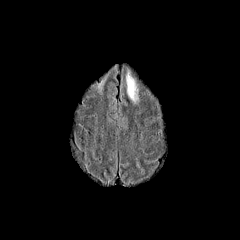
FLAIR MRI.
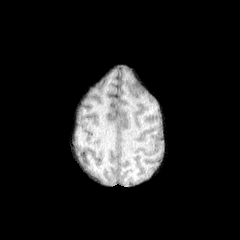
Same slice, T1-weighted magnetic resonance.
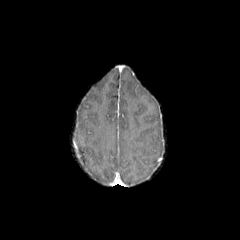
Post-contrast T1-weighted MRI.
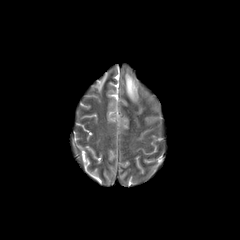
T2-weighted MRI of the same slice.
Axial view.
{"peritumoral_edema": ["l=126, t=68, r=139, b=102"]}